Axial slice | Slice index 112 | Image width 240 mm, 1.00 mm slice spacing
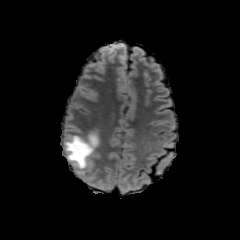
FLAIR magnetic resonance.
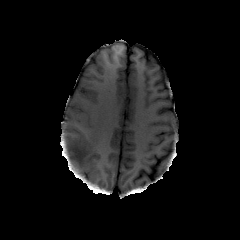
T1-weighted MR of the same slice.
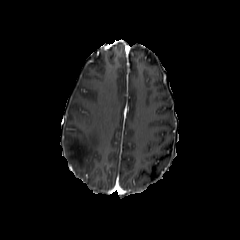
Post-contrast T1-weighted magnetic resonance.
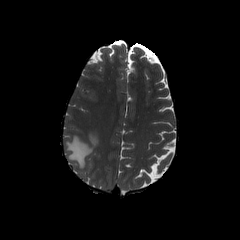
T2-weighted MRI.
peritumoral edema at (65,131,98,168)